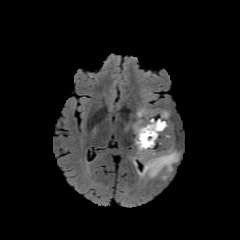
FLAIR MR.
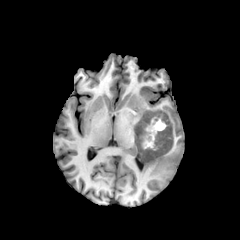
T1-weighted MR image.
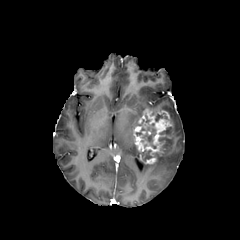
Post-contrast T1-weighted magnetic resonance of the same slice.
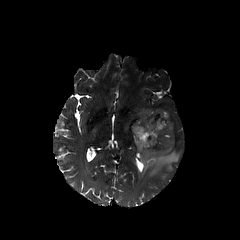
Same slice, T2-weighted MRI.
Axial view; Head
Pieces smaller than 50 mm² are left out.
enhancing tumor: 133 109 172 163
peritumoral edema: 139 139 180 179, 137 108 145 118
necrotic tumor core: 141 123 156 148, 155 113 167 121, 139 150 152 160, 159 127 171 150